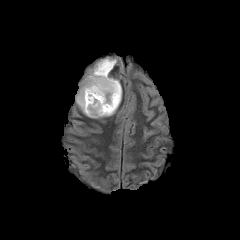
FLAIR magnetic resonance.
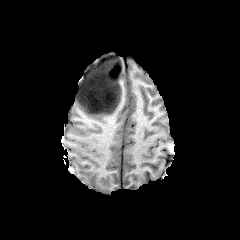
Same slice, T1-weighted magnetic resonance.
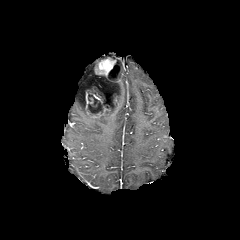
Same slice, post-contrast T1-weighted MRI.
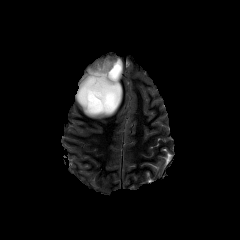
T2-weighted MRI.
Head
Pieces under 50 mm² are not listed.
* peritumoral edema: 94 106 118 118, 75 62 98 117, 118 81 122 105
* necrotic tumor core: 87 59 121 116
* enhancing tumor: 95 58 116 76, 85 90 93 114